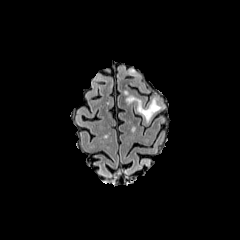
FLAIR MR image.
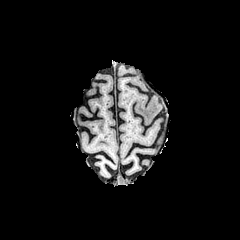
T1-weighted MR image of the same slice.
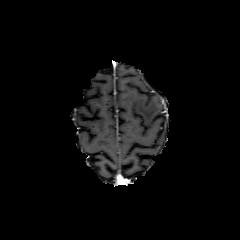
Post-contrast T1-weighted MRI of the same slice.
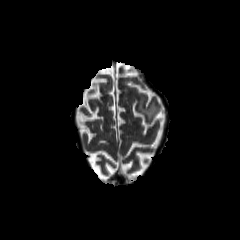
T2-weighted magnetic resonance of the same slice.
240x240; Axial view; Head
{
  "peritumoral_edema": [
    "bbox(127, 96, 163, 121)"
  ]
}